240x240
FLAIR MRI.
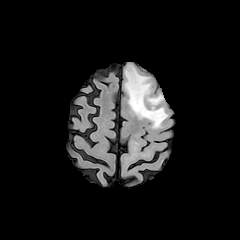
T1-weighted magnetic resonance.
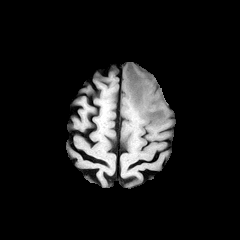
Post-contrast T1-weighted MR image.
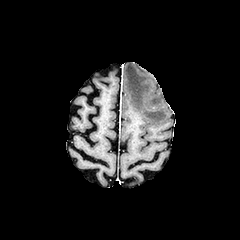
T2-weighted MR image.
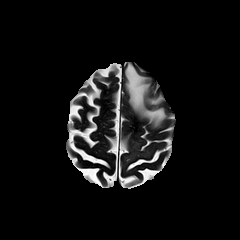
{
  "peritumoral_edema": [
    "(x1=125, y1=64, x2=167, y2=128)"
  ]
}